Axial plane | Image width 240 mm, 1.00 mm slice spacing | Head
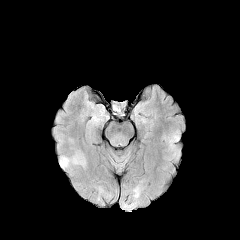
FLAIR MRI.
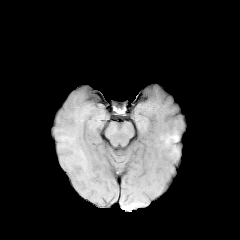
Same slice, T1-weighted magnetic resonance.
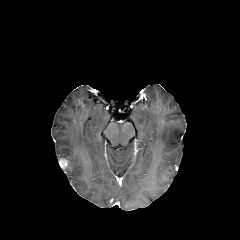
Post-contrast T1-weighted magnetic resonance.
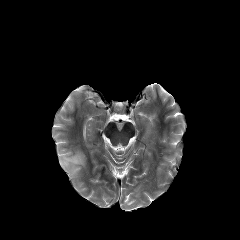
T2-weighted MR image of the same slice.
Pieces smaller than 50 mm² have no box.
enhancing tumor at bbox(59, 159, 67, 168)
peritumoral edema at bbox(59, 151, 85, 174)